Brain
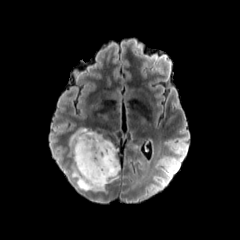
FLAIR MR image.
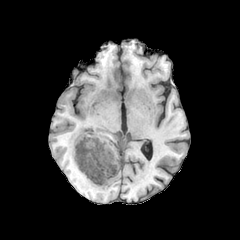
Same slice, T1-weighted MR.
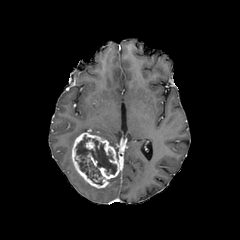
Same slice, post-contrast T1-weighted MR.
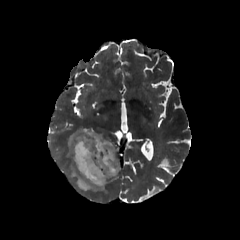
T2-weighted MR.
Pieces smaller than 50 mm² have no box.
The 2 largest peritumoral edema regions are located at (x1=68, y1=128, x2=87, y2=156), (x1=71, y1=165, x2=105, y2=191). The 3 largest enhancing tumor regions are located at (x1=85, y1=139, x2=94, y2=150), (x1=71, y1=130, x2=120, y2=188), (x1=86, y1=153, x2=97, y2=166). The necrotic tumor core is located at (x1=76, y1=135, x2=116, y2=184).